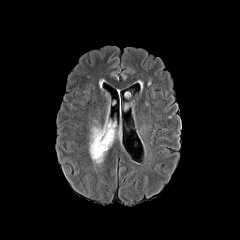
FLAIR magnetic resonance.
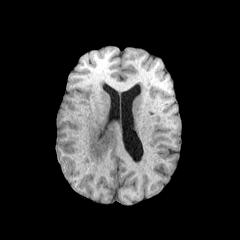
Same slice, T1-weighted MR.
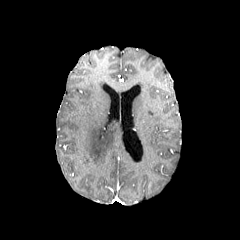
Post-contrast T1-weighted MR image of the same slice.
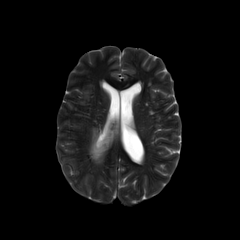
T2-weighted MRI.
Axial view
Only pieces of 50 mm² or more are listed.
The largest peritumoral edema region is bounded by (89, 122, 115, 163).